Image width 240 mm | Slice 81/155 | Axial plane | Brain
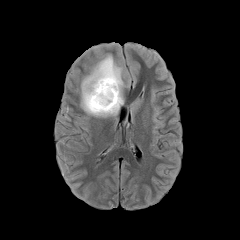
FLAIR MRI.
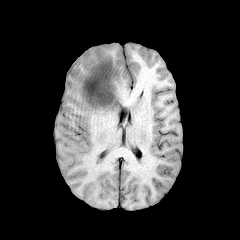
T1-weighted magnetic resonance of the same slice.
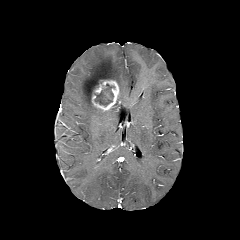
Same slice, post-contrast T1-weighted magnetic resonance.
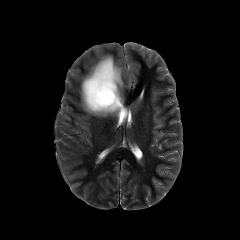
T2-weighted MR.
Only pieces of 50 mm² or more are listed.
The peritumoral edema is located at bbox=[81, 54, 124, 117]. The 2 largest necrotic tumor core regions appear at bbox=[95, 90, 112, 105]; bbox=[104, 84, 114, 97]. The enhancing tumor is at bbox=[91, 80, 118, 111].